FLAIR MR.
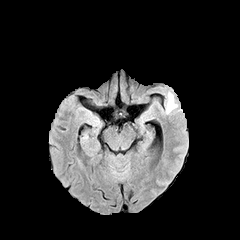
T1-weighted MRI.
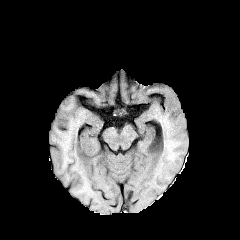
Post-contrast T1-weighted MR image.
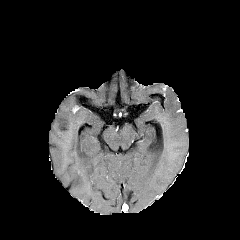
T2-weighted magnetic resonance.
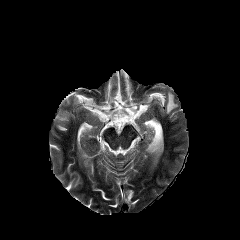
240x240
The peritumoral edema lies within (166,91,177,114).